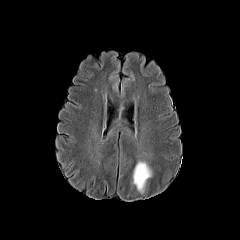
FLAIR MRI.
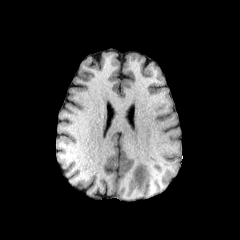
T1-weighted magnetic resonance.
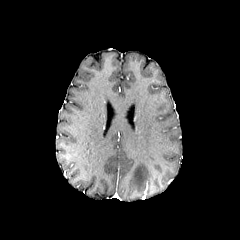
Post-contrast T1-weighted magnetic resonance.
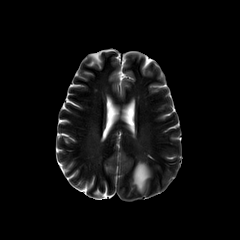
T2-weighted magnetic resonance.
Image size 240x240; Brain
peritumoral_edema:
  - 132:161:151:192